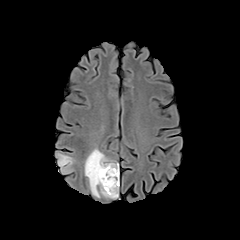
FLAIR MR image.
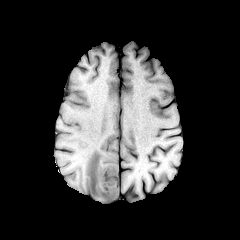
T1-weighted magnetic resonance of the same slice.
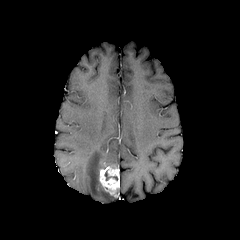
Same slice, post-contrast T1-weighted MRI.
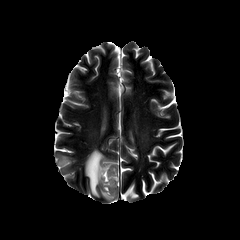
T2-weighted magnetic resonance of the same slice.
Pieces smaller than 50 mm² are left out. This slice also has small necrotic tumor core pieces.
2 peritumoral edema regions appear at 57 154 73 173, 84 148 117 199. The enhancing tumor appears at 99 165 117 197.